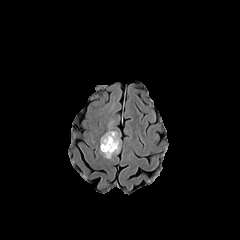
FLAIR MR image.
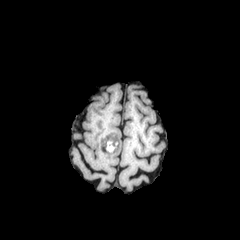
T1-weighted magnetic resonance.
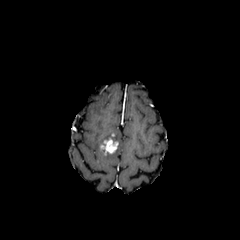
Post-contrast T1-weighted MRI of the same slice.
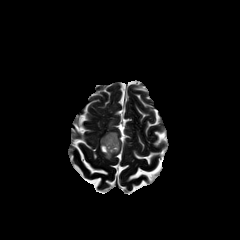
T2-weighted MR image.
Axial view.
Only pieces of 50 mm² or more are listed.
The largest peritumoral edema region lies within x1=100 y1=130 x2=121 y2=158. The largest enhancing tumor region is at x1=100 y1=138 x2=118 y2=154.